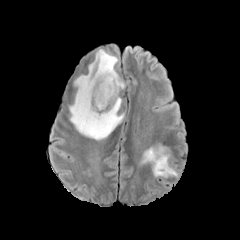
FLAIR MR.
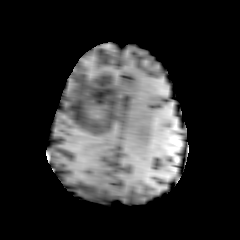
T1-weighted MRI of the same slice.
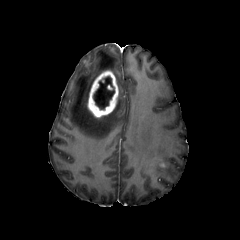
Post-contrast T1-weighted magnetic resonance.
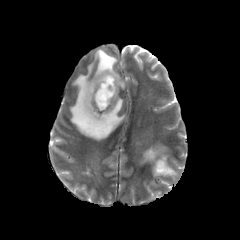
T2-weighted MRI of the same slice.
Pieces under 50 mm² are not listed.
enhancing tumor at <bbox>87, 70, 118, 117</bbox>
necrotic tumor core at <bbox>93, 77, 114, 109</bbox>
peritumoral edema at <bbox>69, 49, 124, 140</bbox>, <bbox>141, 145, 177, 177</bbox>